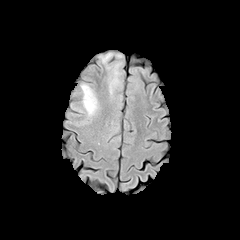
FLAIR magnetic resonance.
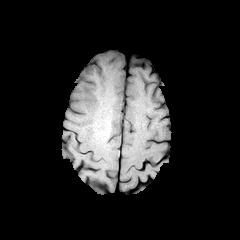
T1-weighted MR image.
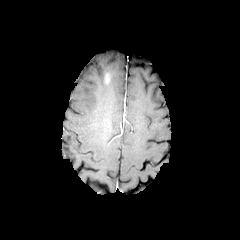
Same slice, post-contrast T1-weighted MR image.
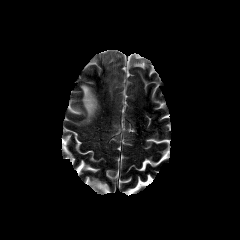
Same slice, T2-weighted magnetic resonance.
Brain.
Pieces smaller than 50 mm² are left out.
peritumoral edema at region(109, 64, 119, 93); region(81, 84, 98, 119)